FLAIR MR.
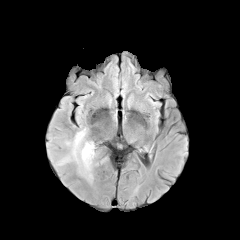
T1-weighted magnetic resonance.
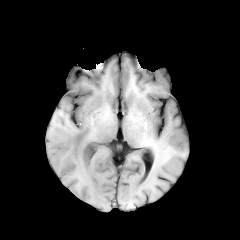
Post-contrast T1-weighted MR image.
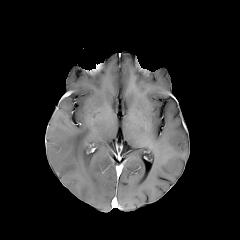
T2-weighted magnetic resonance.
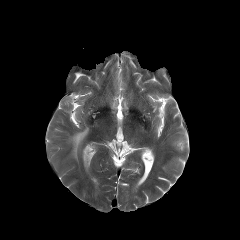
Axial plane | Head
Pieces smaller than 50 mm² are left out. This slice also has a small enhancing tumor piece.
peritumoral edema at (left=72, top=129, right=94, bottom=169)